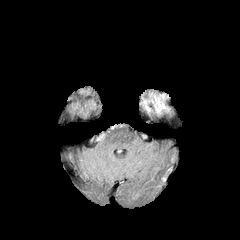
FLAIR MRI.
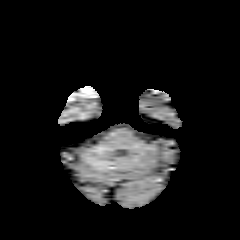
T1-weighted magnetic resonance.
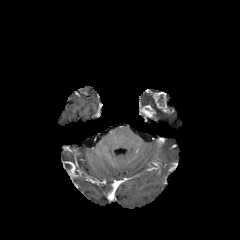
Same slice, post-contrast T1-weighted MR.
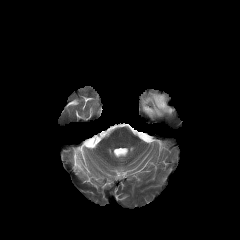
T2-weighted magnetic resonance of the same slice.
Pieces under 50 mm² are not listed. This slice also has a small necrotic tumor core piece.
Segmented structures:
- enhancing tumor: 141, 105, 155, 117; 151, 93, 170, 112
- peritumoral edema: 142, 95, 162, 115